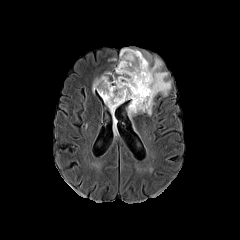
FLAIR MR image.
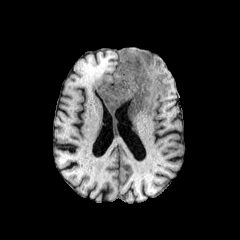
T1-weighted MRI of the same slice.
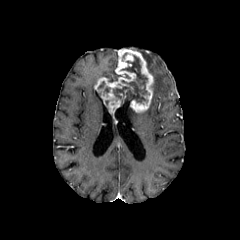
Same slice, post-contrast T1-weighted MR.
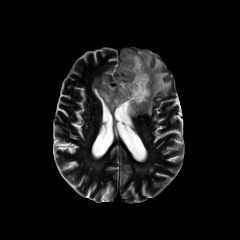
T2-weighted MR image.
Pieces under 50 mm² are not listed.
The largest enhancing tumor region is at left=94, top=48, right=153, bottom=115. The 4 largest peritumoral edema regions are located at left=112, top=115, right=117, bottom=135; left=101, top=71, right=120, bottom=80; left=126, top=105, right=140, bottom=119; left=132, top=49, right=171, bottom=115. The largest necrotic tumor core region is at left=113, top=55, right=147, bottom=102.